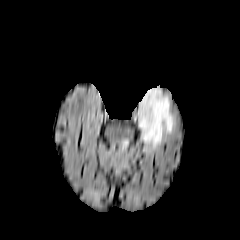
FLAIR MR.
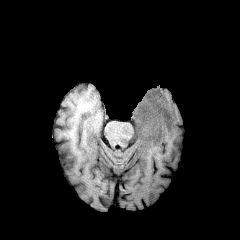
T1-weighted MR image of the same slice.
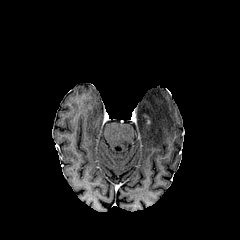
Post-contrast T1-weighted MR.
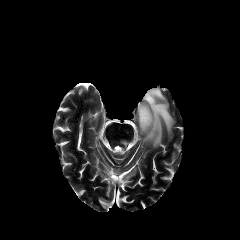
Same slice, T2-weighted MR.
Head.
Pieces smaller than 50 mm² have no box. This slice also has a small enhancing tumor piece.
{
  "peritumoral_edema": [
    {"x1": 137, "y1": 88, "x2": 175, "y2": 147}
  ]
}